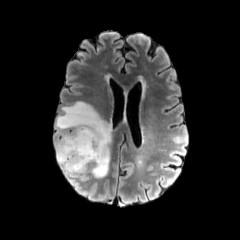
FLAIR MRI.
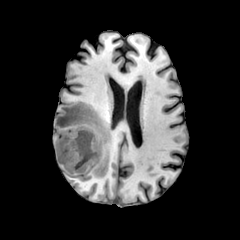
T1-weighted MR image.
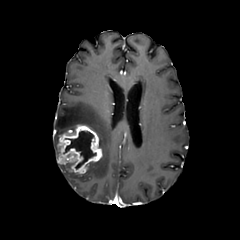
Same slice, post-contrast T1-weighted MR.
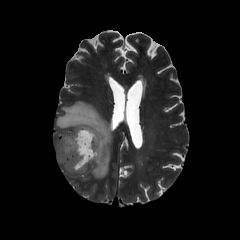
T2-weighted MR of the same slice.
Brain; Axial view
necrotic tumor core: (64, 131, 96, 169)
enhancing tumor: (57, 124, 102, 174)
peritumoral edema: (59, 164, 79, 176), (54, 101, 112, 178)